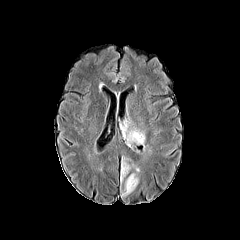
FLAIR magnetic resonance.
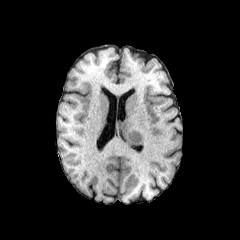
Same slice, T1-weighted MR.
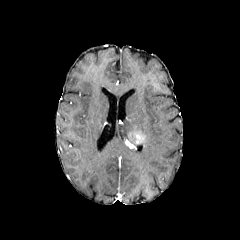
Post-contrast T1-weighted MR of the same slice.
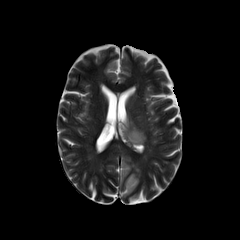
Same slice, T2-weighted MR image.
Head
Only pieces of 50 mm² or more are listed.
<segmentation>
  <peritumoral_edema><box>122,173,138,196</box>, <box>120,155,139,184</box>, <box>118,118,139,145</box></peritumoral_edema>
  <enhancing_tumor><box>128,131,144,144</box></enhancing_tumor>
</segmentation>